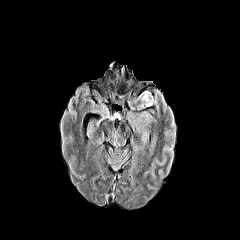
FLAIR MRI.
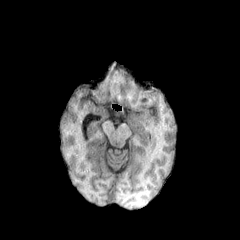
T1-weighted magnetic resonance.
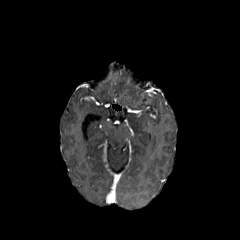
Same slice, post-contrast T1-weighted MR.
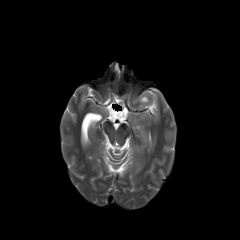
T2-weighted MR image.
Axial slice; Brain
Segmented structures:
• peritumoral edema: (139,111,152,120), (139,91,152,107)